FLAIR MR image.
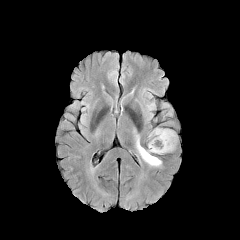
T1-weighted MR.
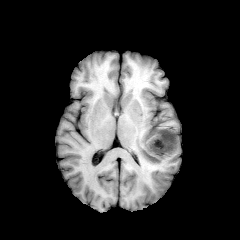
Post-contrast T1-weighted MR.
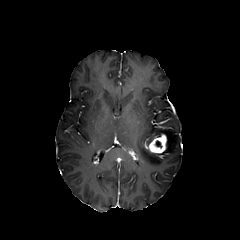
T2-weighted MRI.
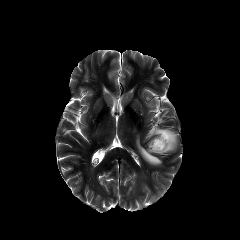
240x240. Axial view.
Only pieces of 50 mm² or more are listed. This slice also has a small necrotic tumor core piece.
Findings:
- enhancing tumor: l=147, t=134, r=167, b=153
- peritumoral edema: l=136, t=135, r=161, b=166; l=149, t=128, r=176, b=152